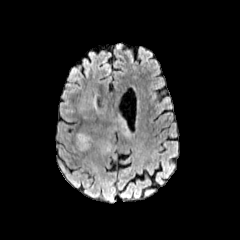
FLAIR MR.
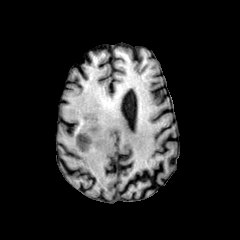
T1-weighted MR image of the same slice.
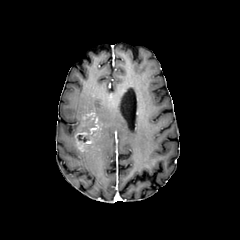
Same slice, post-contrast T1-weighted MR.
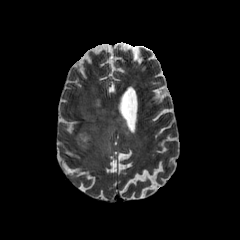
T2-weighted MRI.
Axial plane.
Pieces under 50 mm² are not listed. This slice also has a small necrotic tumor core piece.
peritumoral edema: bbox(97, 111, 131, 154)
enhancing tumor: bbox(76, 112, 98, 151)